FLAIR MR.
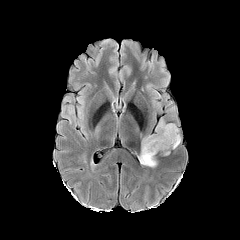
T1-weighted MR.
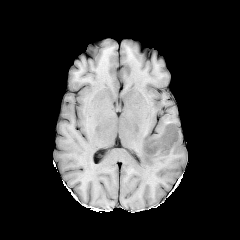
Post-contrast T1-weighted MRI.
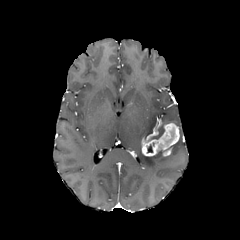
T2-weighted MRI.
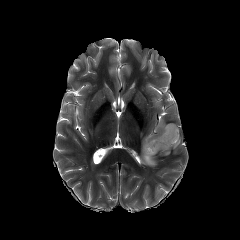
240x240 px; Brain
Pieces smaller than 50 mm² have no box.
<segmentation>
  <necrotic_tumor_core>(x1=149, y1=125, x2=164, y2=140)</necrotic_tumor_core>
  <peritumoral_edema>(x1=167, y1=136, x2=180, y2=149), (x1=139, y1=142, x2=156, y2=166)</peritumoral_edema>
  <enhancing_tumor>(x1=142, y1=119, x2=179, y2=156)</enhancing_tumor>
</segmentation>